Brain. 240x240. Image width 240 mm. Slice 52 of 155.
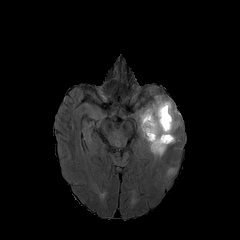
FLAIR MRI.
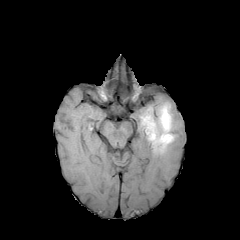
T1-weighted MR image of the same slice.
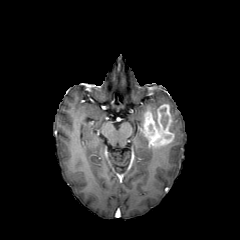
Post-contrast T1-weighted magnetic resonance.
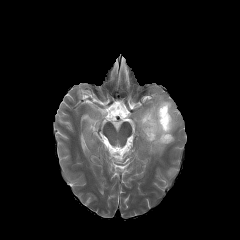
Same slice, T2-weighted MR image.
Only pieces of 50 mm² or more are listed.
peritumoral edema: box(138, 95, 179, 132); box(149, 144, 169, 155) | enhancing tumor: box(142, 104, 174, 147) | necrotic tumor core: box(160, 108, 168, 128)